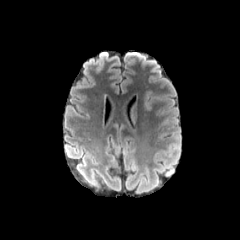
FLAIR MR.
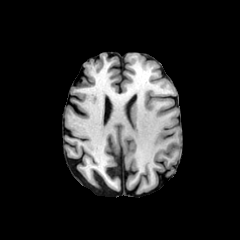
T1-weighted MR image of the same slice.
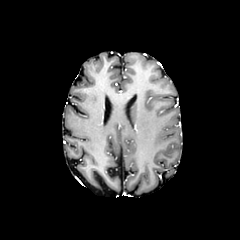
Same slice, post-contrast T1-weighted MR.
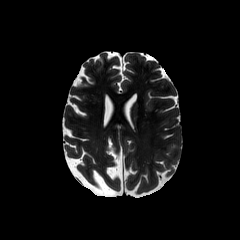
T2-weighted MR of the same slice.
Segmented structures:
* peritumoral edema: 144,91,151,109